Head
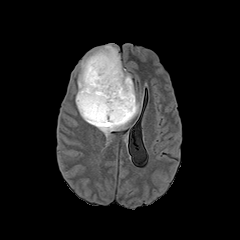
FLAIR MR.
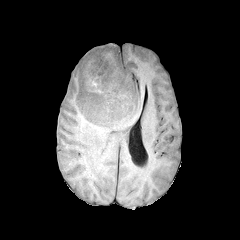
T1-weighted MRI.
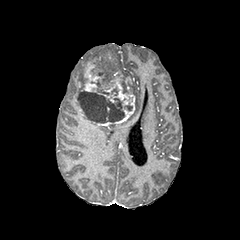
Post-contrast T1-weighted MR image.
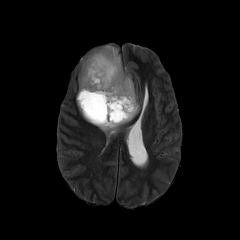
T2-weighted MRI.
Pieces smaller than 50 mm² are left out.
The peritumoral edema lies within 75, 44, 140, 136. The 2 largest necrotic tumor core regions are bounded by 97, 87, 120, 100; 78, 91, 125, 123. The largest enhancing tumor region appears at 80, 54, 135, 126.